240x240 px, Image width 240 mm, Brain
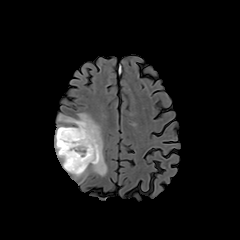
FLAIR MR.
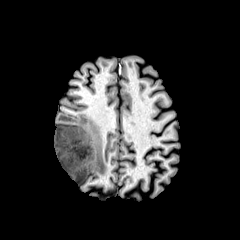
T1-weighted MR.
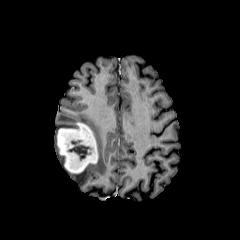
Post-contrast T1-weighted MR.
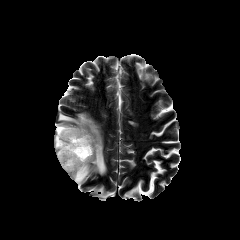
T2-weighted MRI.
The necrotic tumor core appears at l=68, t=140, r=91, b=160. The peritumoral edema is bounded by l=54, t=113, r=107, b=184. The enhancing tumor appears at l=57, t=122, r=98, b=173.